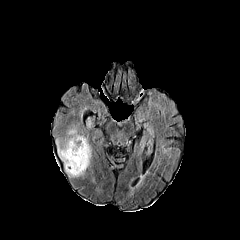
FLAIR MR image.
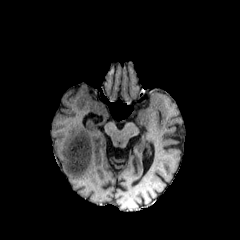
Same slice, T1-weighted magnetic resonance.
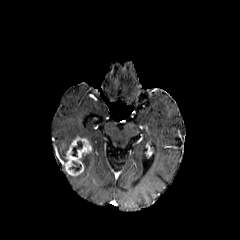
Post-contrast T1-weighted MR image.
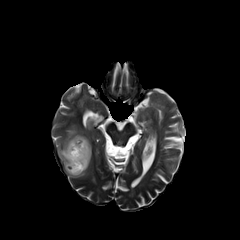
T2-weighted MR image.
Axial slice | Head
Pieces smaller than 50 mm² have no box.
{
  "necrotic_tumor_core": [
    "71 161 81 171",
    "69 140 83 156"
  ],
  "enhancing_tumor": [
    "66 137 90 175"
  ],
  "peritumoral_edema": [
    "67 147 91 177",
    "56 126 88 170"
  ]
}